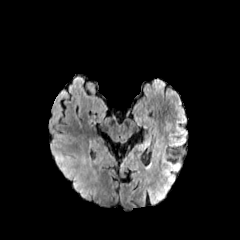
FLAIR MR image.
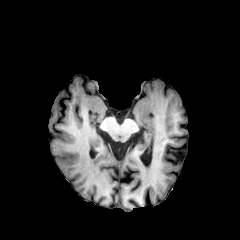
T1-weighted magnetic resonance.
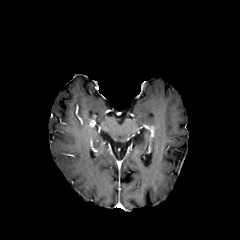
Post-contrast T1-weighted MR image.
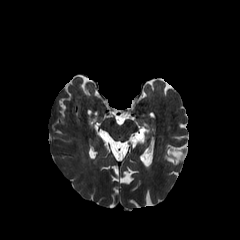
T2-weighted magnetic resonance.
Brain | Axial plane
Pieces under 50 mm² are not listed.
{
  "peritumoral_edema": [
    "(50,125,92,200)"
  ]
}